Head, Image size 240x240
FLAIR MR.
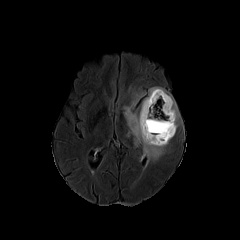
T1-weighted MRI.
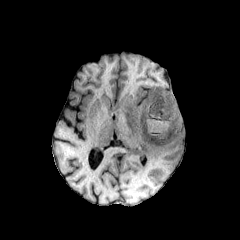
Post-contrast T1-weighted MR image.
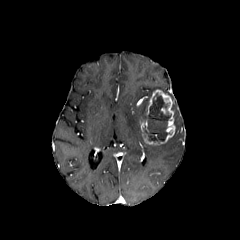
T2-weighted MR.
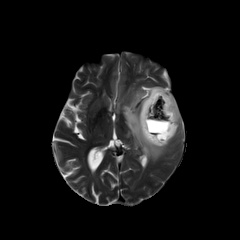
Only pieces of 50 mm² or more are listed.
* enhancing tumor: (140,89,175,145)
* peritumoral edema: (172,100,181,129), (123,86,173,162)
* necrotic tumor core: (141,93,170,141)